FLAIR MR image.
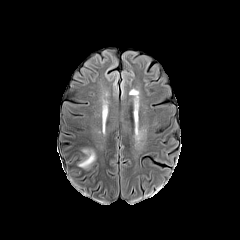
T1-weighted MRI.
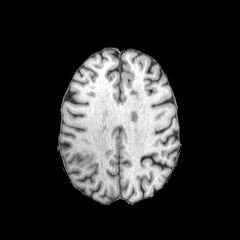
Post-contrast T1-weighted MR.
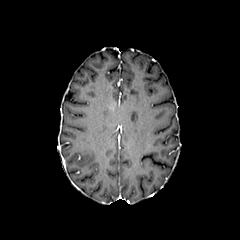
T2-weighted MR.
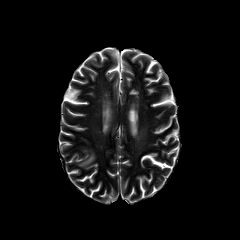
Axial view, Brain
Segmented structures:
* peritumoral edema: [78,149,95,168]